FLAIR MR image.
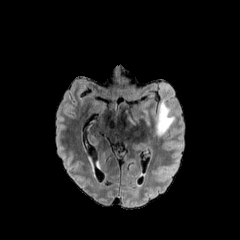
T1-weighted MR.
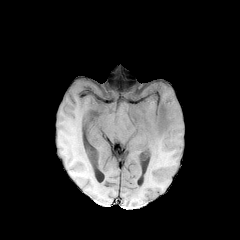
Post-contrast T1-weighted MR.
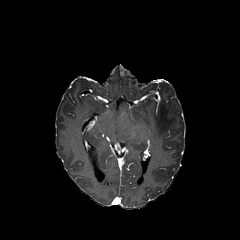
T2-weighted MR.
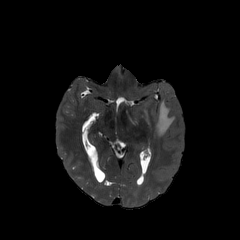
Brain; Axial slice
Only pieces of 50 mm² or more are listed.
peritumoral edema = rect(156, 97, 175, 136); rect(125, 110, 137, 124)